FLAIR MRI.
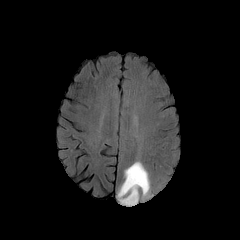
T1-weighted MR.
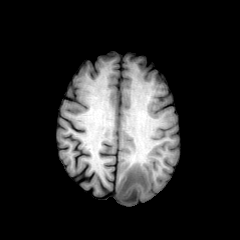
Post-contrast T1-weighted MR.
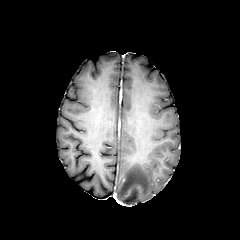
T2-weighted magnetic resonance.
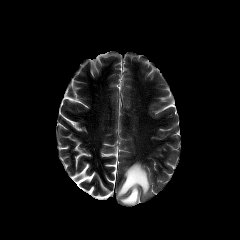
Head; Image size 240x240
The peritumoral edema is bounded by (117,162,150,205).